Axial view, Slice index 116
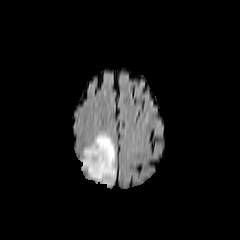
FLAIR MRI.
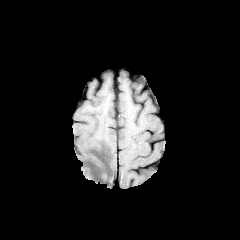
T1-weighted MRI.
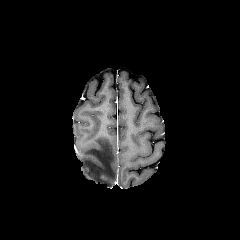
Post-contrast T1-weighted MR image.
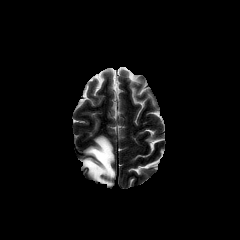
T2-weighted MR image.
peritumoral edema = (81, 134, 115, 185)